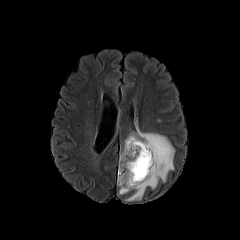
FLAIR MR image.
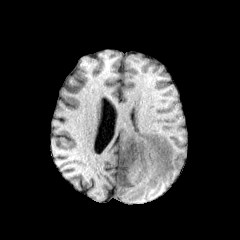
T1-weighted magnetic resonance of the same slice.
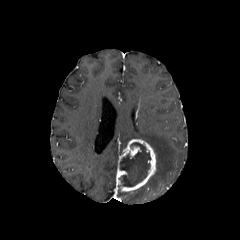
Same slice, post-contrast T1-weighted MR image.
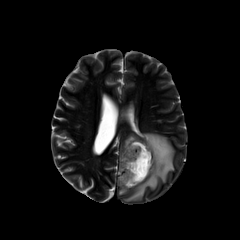
T2-weighted magnetic resonance.
Axial plane | 240x240
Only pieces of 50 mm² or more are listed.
The enhancing tumor is bounded by (116,139,156,191). The largest necrotic tumor core region is bounded by (120,142,150,186). The largest peritumoral edema region is at (123,127,174,201).